FLAIR MRI.
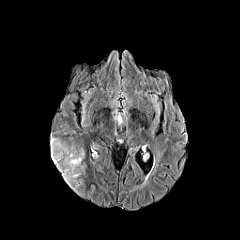
T1-weighted MR image.
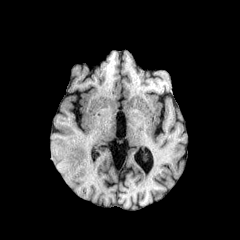
Post-contrast T1-weighted MR image.
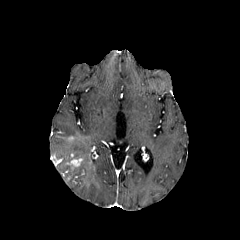
T2-weighted MRI.
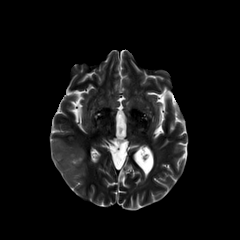
240x240, Head, Axial slice
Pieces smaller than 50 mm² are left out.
peritumoral edema: bounding box [x1=51, y1=138, x2=84, y2=190]
enhancing tumor: bounding box [x1=66, y1=157, x2=82, y2=169]